FLAIR MRI.
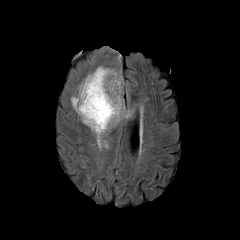
T1-weighted magnetic resonance.
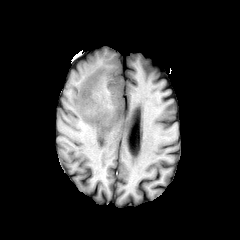
Post-contrast T1-weighted magnetic resonance.
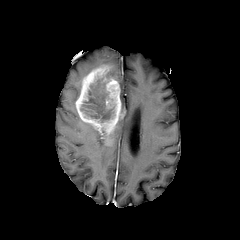
T2-weighted MR.
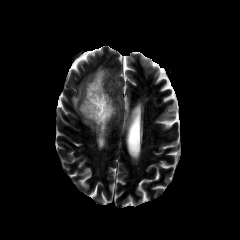
Axial view, Image size 240x240, Brain
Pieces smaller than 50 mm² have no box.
The enhancing tumor lies within (left=75, top=65, right=125, bottom=144). The 3 largest peritumoral edema regions are bounded by (left=83, top=122, right=107, bottom=149), (left=71, top=83, right=81, bottom=111), (left=111, top=69, right=121, bottom=87). The largest necrotic tumor core region lies within (left=80, top=78, right=113, bottom=122).